Brain. Axial plane. Slice 53/155.
FLAIR magnetic resonance.
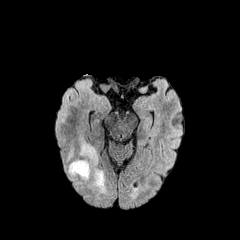
T1-weighted MRI.
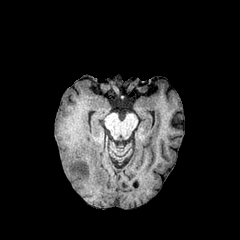
Post-contrast T1-weighted MR image.
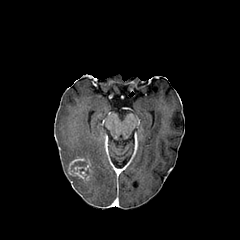
T2-weighted MRI.
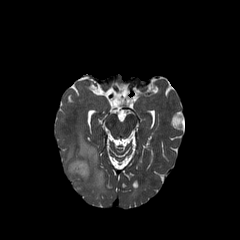
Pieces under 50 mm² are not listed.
peritumoral edema: box=[65, 137, 106, 194]; box=[66, 147, 76, 163] | necrotic tumor core: box=[72, 161, 85, 168] | enhancing tumor: box=[69, 158, 90, 179]